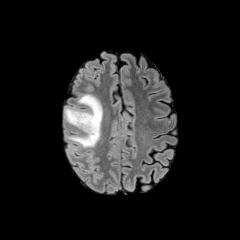
FLAIR magnetic resonance.
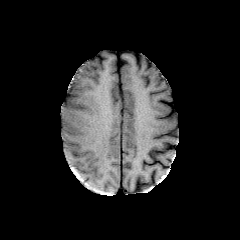
Same slice, T1-weighted magnetic resonance.
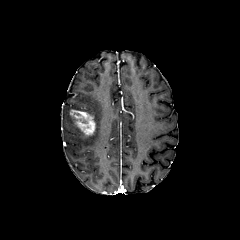
Post-contrast T1-weighted MRI of the same slice.
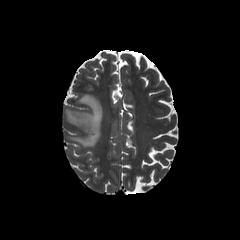
T2-weighted magnetic resonance of the same slice.
Head
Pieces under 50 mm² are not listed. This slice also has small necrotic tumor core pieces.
enhancing_tumor:
  - 69,109,96,136
peritumoral_edema:
  - 64,94,102,148